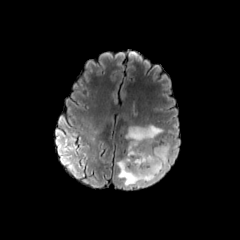
FLAIR magnetic resonance.
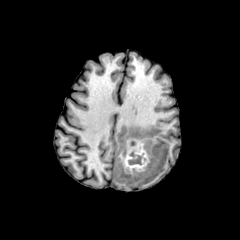
Same slice, T1-weighted MR.
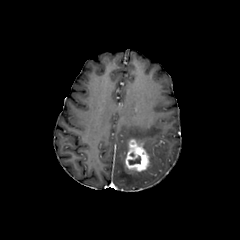
Post-contrast T1-weighted MR image.
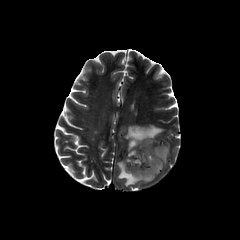
T2-weighted MR image.
Image size 240x240; Brain
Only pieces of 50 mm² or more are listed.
necrotic_tumor_core:
  - 128,156,140,164
peritumoral_edema:
  - 116,124,169,186
enhancing_tumor:
  - 125,139,149,171